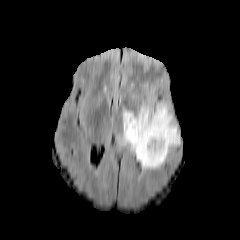
FLAIR MR.
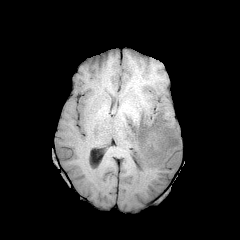
T1-weighted MRI.
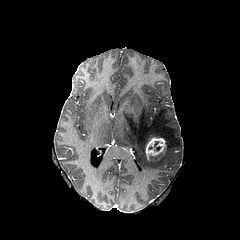
Post-contrast T1-weighted magnetic resonance.
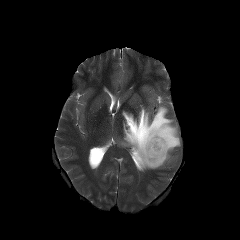
T2-weighted MR image of the same slice.
240x240 | Axial view
The enhancing tumor is at <bbox>145, 137, 166, 160</bbox>. The peritumoral edema is bounded by <bbox>120, 102, 180, 169</bbox>. The necrotic tumor core appears at <bbox>149, 142, 161, 150</bbox>.